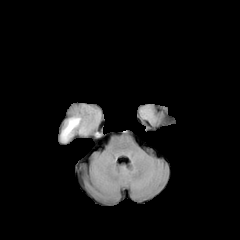
FLAIR MR.
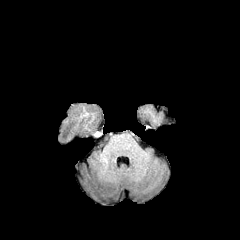
T1-weighted magnetic resonance.
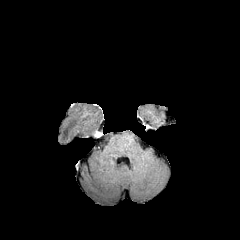
Post-contrast T1-weighted MR image.
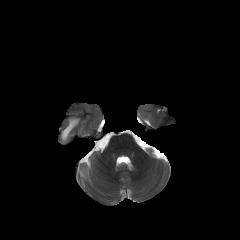
Same slice, T2-weighted MR.
Axial slice. Image size 240x240.
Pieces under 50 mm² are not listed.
The largest peritumoral edema region is bounded by <bbox>61, 117, 80, 142</bbox>.